Slice index 118 | Head | Axial view
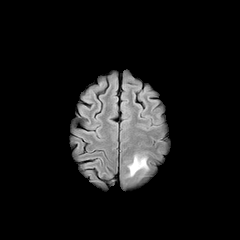
FLAIR magnetic resonance.
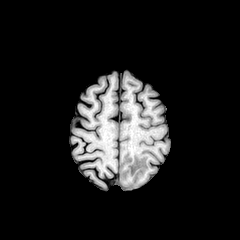
T1-weighted MR image.
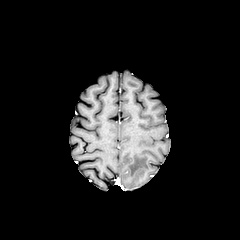
Post-contrast T1-weighted magnetic resonance.
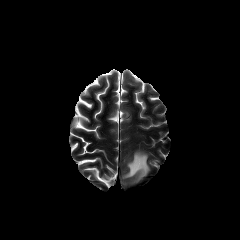
T2-weighted MR image.
The peritumoral edema is at 128, 154, 148, 176.